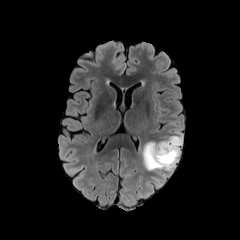
FLAIR MRI.
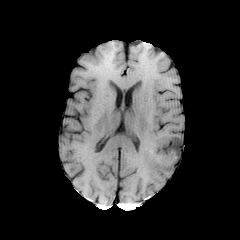
Same slice, T1-weighted MR.
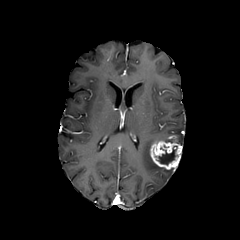
Post-contrast T1-weighted MRI.
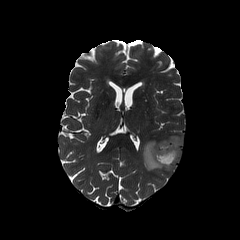
T2-weighted MR.
Head
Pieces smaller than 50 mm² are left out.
{"enhancing_tumor": ["[150, 135, 181, 169]"], "necrotic_tumor_core": ["[158, 147, 176, 164]"], "peritumoral_edema": ["[177, 134, 182, 145]", "[142, 140, 175, 173]"]}